Slice 86/155, 240x240, Axial view
FLAIR magnetic resonance.
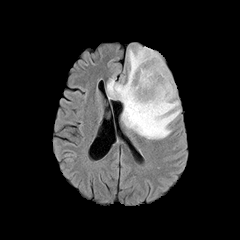
T1-weighted MR image.
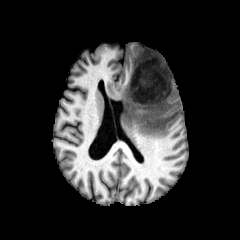
Post-contrast T1-weighted MRI.
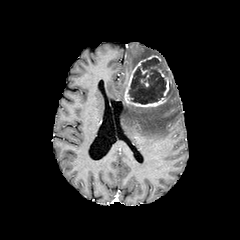
T2-weighted MR.
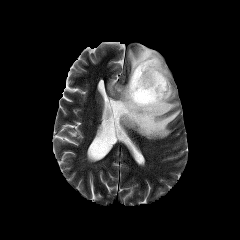
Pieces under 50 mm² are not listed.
enhancing tumor: bounding box box=[150, 66, 171, 95]; box=[124, 55, 167, 107]; box=[141, 74, 148, 86]
peritumoral edema: bounding box box=[107, 46, 180, 139]
necrotic tumor core: bounding box box=[128, 57, 169, 104]